Slice 57/155. Brain.
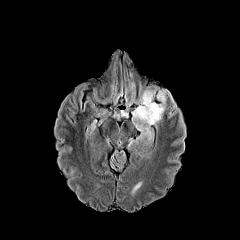
FLAIR MR.
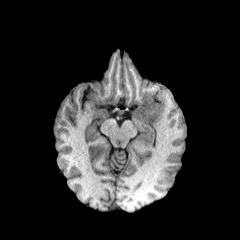
T1-weighted magnetic resonance of the same slice.
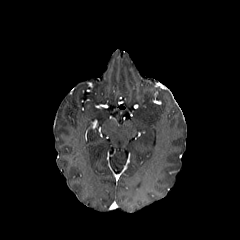
Post-contrast T1-weighted magnetic resonance of the same slice.
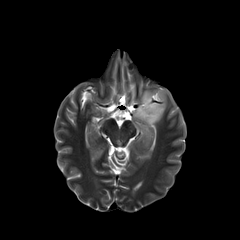
T2-weighted MR image.
peritumoral edema: rect(133, 90, 167, 143)